Image covers 240 mm x 240 mm | Brain | Axial slice | Slice index 103
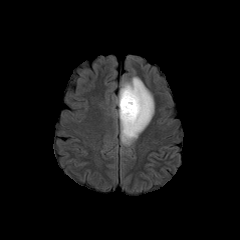
FLAIR magnetic resonance.
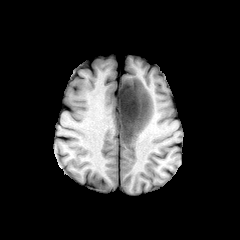
Same slice, T1-weighted MR image.
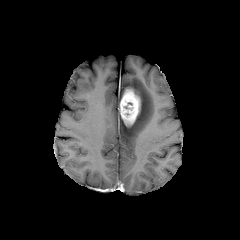
Post-contrast T1-weighted MR image of the same slice.
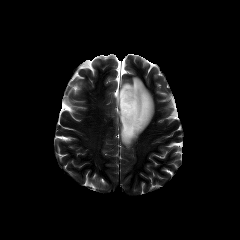
T2-weighted MR image of the same slice.
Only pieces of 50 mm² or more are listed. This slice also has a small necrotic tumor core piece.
<segmentation>
  <peritumoral_edema>(left=117, top=76, right=154, bottom=147)</peritumoral_edema>
  <enhancing_tumor>(left=119, top=87, right=140, bottom=126)</enhancing_tumor>
</segmentation>